Axial plane
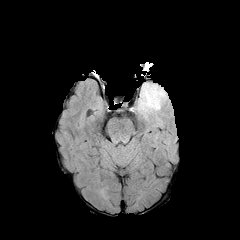
FLAIR MR.
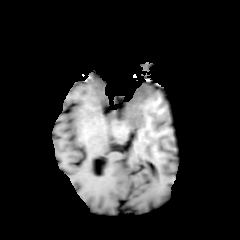
T1-weighted MR image.
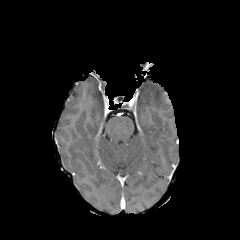
Post-contrast T1-weighted MRI.
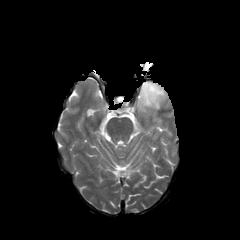
T2-weighted MR.
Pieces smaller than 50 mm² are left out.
{
  "peritumoral_edema": [
    "136, 82, 167, 119"
  ]
}